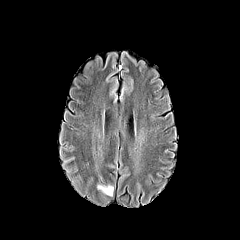
FLAIR MR image.
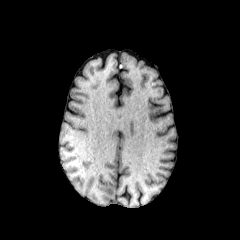
T1-weighted magnetic resonance of the same slice.
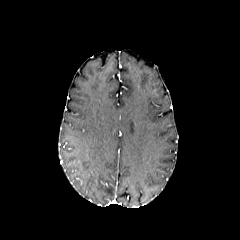
Post-contrast T1-weighted magnetic resonance.
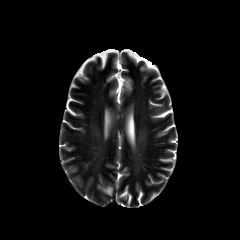
T2-weighted MRI.
240x240; Head
<segmentation>
  <peritumoral_edema>rect(97, 185, 113, 196)</peritumoral_edema>
</segmentation>